FLAIR MR image.
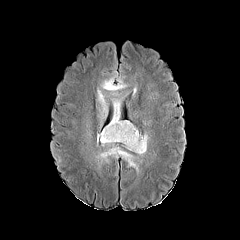
T1-weighted MRI.
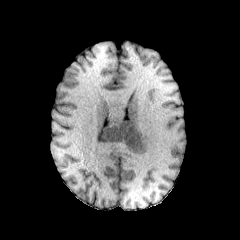
Post-contrast T1-weighted MR.
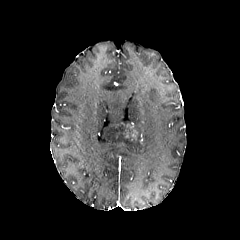
T2-weighted MR.
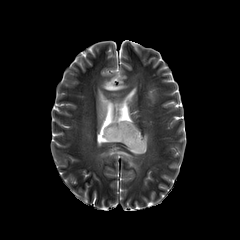
Axial view; Head
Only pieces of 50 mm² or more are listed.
The largest enhancing tumor region lies within (left=115, top=122, right=137, bottom=140). The 2 largest peritumoral edema regions are located at (left=97, top=78, right=148, bottom=154), (left=100, top=147, right=137, bottom=169).